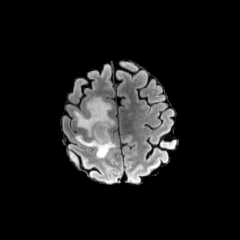
FLAIR MR image.
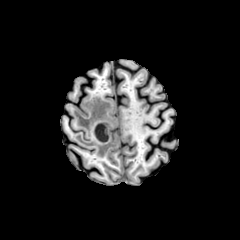
T1-weighted MRI.
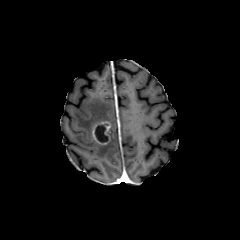
Post-contrast T1-weighted MRI.
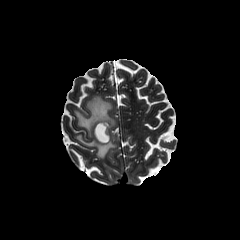
T2-weighted magnetic resonance.
Axial slice.
necrotic_tumor_core:
  - l=95, t=124, r=108, b=142
enhancing_tumor:
  - l=92, t=121, r=110, b=145
peritumoral_edema:
  - l=74, t=97, r=115, b=158